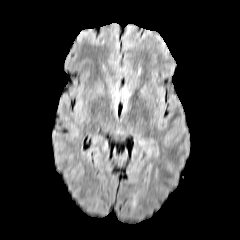
FLAIR MR image.
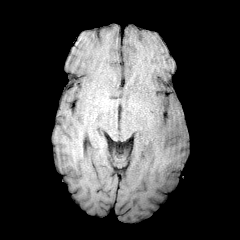
T1-weighted magnetic resonance of the same slice.
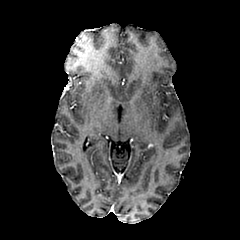
Same slice, post-contrast T1-weighted MRI.
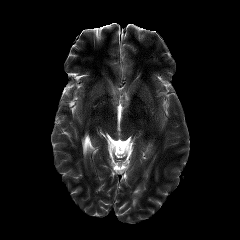
Same slice, T2-weighted MR image.
Head, Axial slice
The peritumoral edema is located at 116,90,128,101.